FLAIR MR image.
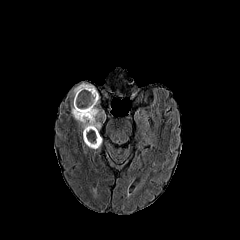
T1-weighted MR.
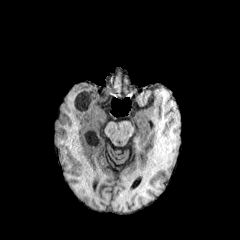
Post-contrast T1-weighted MRI.
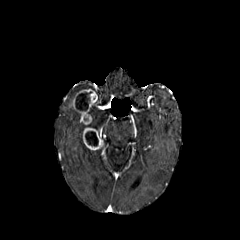
T2-weighted magnetic resonance.
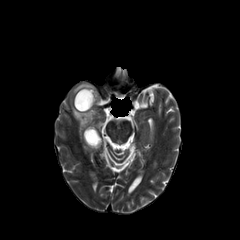
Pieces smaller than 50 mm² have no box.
2 enhancing tumor regions are located at [x1=71, y1=88, x2=97, y2=124], [x1=83, y1=127, x2=102, y2=150]. The 2 largest necrotic tumor core regions are bounded by [x1=75, y1=93, x2=89, y2=110], [x1=85, y1=131, x2=98, y2=146]. The peritumoral edema is bounded by [x1=68, y1=83, x2=104, y2=139].